FLAIR MRI.
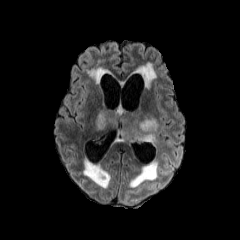
T1-weighted MR.
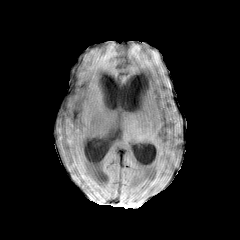
Post-contrast T1-weighted MR.
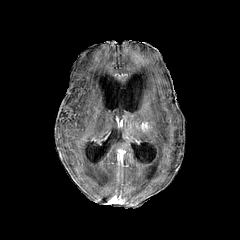
T2-weighted MRI.
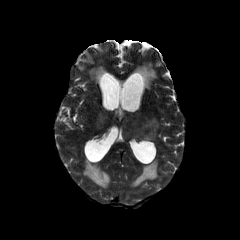
Head | 240x240
The peritumoral edema is bounded by {"x1": 96, "y1": 106, "x2": 158, "y2": 143}. The enhancing tumor is located at {"x1": 137, "y1": 121, "x2": 149, "y2": 132}.